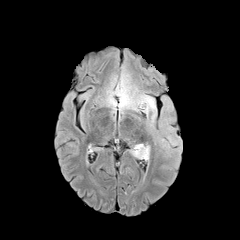
FLAIR MR.
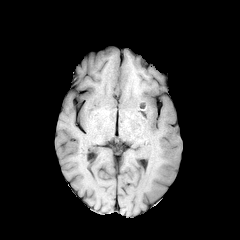
T1-weighted MRI.
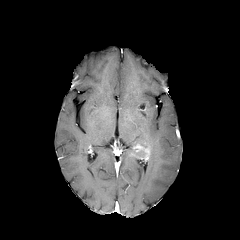
Post-contrast T1-weighted MR.
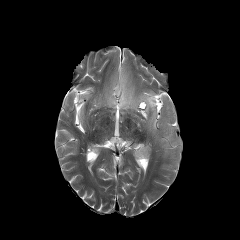
Same slice, T2-weighted magnetic resonance.
Head. 240x240.
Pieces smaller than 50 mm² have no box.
enhancing tumor: x1=133, y1=144, x2=149, y2=159
peritumoral edema: x1=130, y1=148, x2=145, y2=158; x1=119, y1=87, x2=156, y2=133